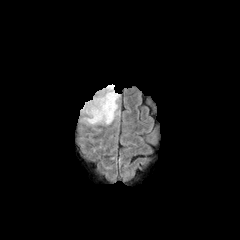
FLAIR MR image.
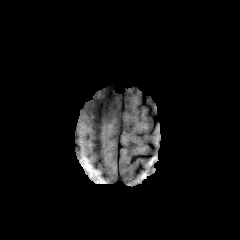
T1-weighted magnetic resonance.
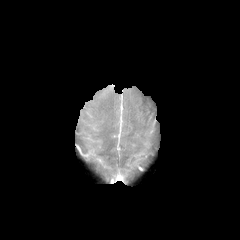
Post-contrast T1-weighted MRI.
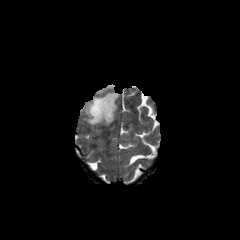
T2-weighted MR of the same slice.
Head | Image size 240x240
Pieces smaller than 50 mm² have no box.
The largest peritumoral edema region is at (81,91,118,124).